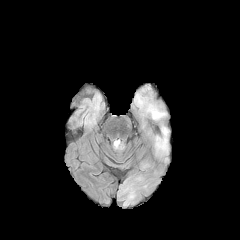
FLAIR magnetic resonance.
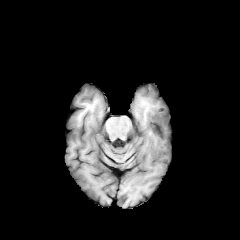
T1-weighted MR image.
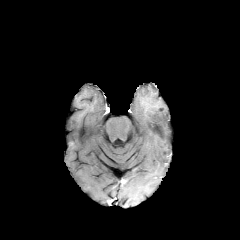
Post-contrast T1-weighted MR.
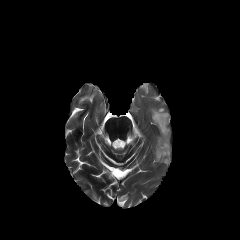
T2-weighted magnetic resonance.
Axial plane; Head
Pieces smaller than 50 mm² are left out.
peritumoral edema: 152, 111, 163, 119